FLAIR MRI.
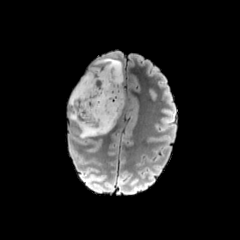
T1-weighted MR.
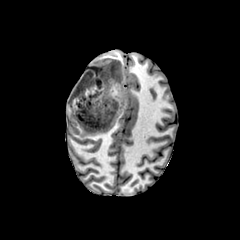
Post-contrast T1-weighted MR image.
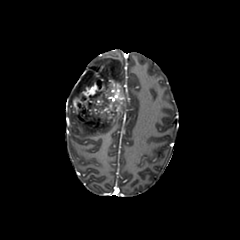
T2-weighted magnetic resonance.
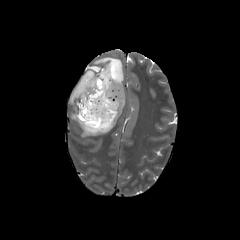
Axial plane, 240x240 px
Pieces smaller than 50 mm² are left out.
enhancing tumor: left=73, top=68, right=125, bottom=127
peritumoral edema: left=88, top=58, right=123, bottom=84; left=69, top=72, right=87, bottom=106; left=70, top=107, right=120, bottom=138
necrotic tumor core: left=81, top=74, right=107, bottom=91; left=78, top=108, right=100, bottom=122